Brain
FLAIR magnetic resonance.
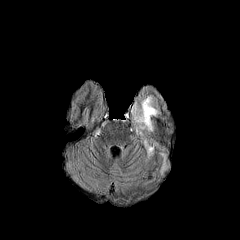
T1-weighted MR image.
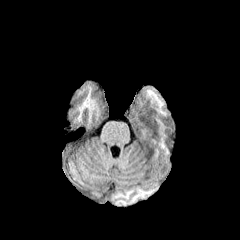
Post-contrast T1-weighted MRI.
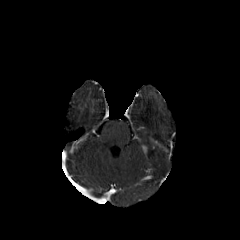
T2-weighted MRI.
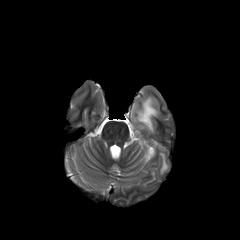
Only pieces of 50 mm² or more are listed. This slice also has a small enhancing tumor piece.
The 3 largest peritumoral edema regions are located at (left=143, top=139, right=153, bottom=158), (left=160, top=153, right=168, bottom=173), (left=131, top=96, right=159, bottom=136).